FLAIR MR.
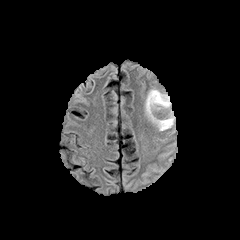
T1-weighted MR image.
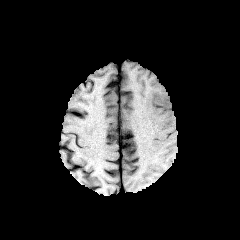
Post-contrast T1-weighted magnetic resonance.
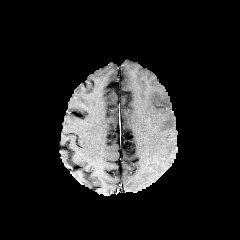
T2-weighted MR.
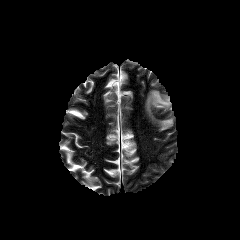
Axial slice; Head; Image size 240x240
peritumoral edema = <bbox>145, 90, 174, 130</bbox>